FLAIR magnetic resonance.
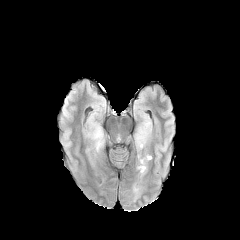
T1-weighted MR image.
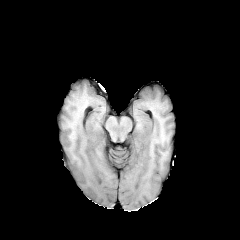
Post-contrast T1-weighted magnetic resonance.
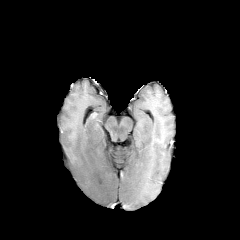
T2-weighted magnetic resonance.
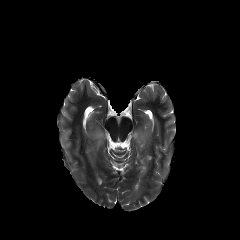
Axial slice | Image size 240x240
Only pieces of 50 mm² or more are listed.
Findings:
- peritumoral edema: 135, 129, 148, 149; 87, 127, 103, 151; 137, 154, 151, 174